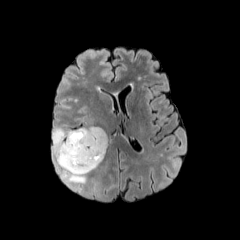
FLAIR MR image.
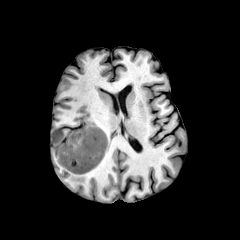
T1-weighted MR image.
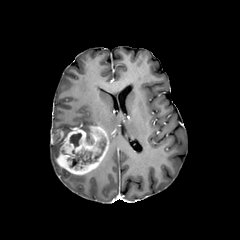
Post-contrast T1-weighted MR.
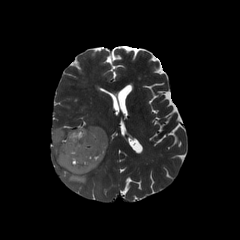
Same slice, T2-weighted magnetic resonance.
Image size 240x240 | Axial plane
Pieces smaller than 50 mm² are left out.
The 3 largest peritumoral edema regions are bounded by bbox=[52, 142, 58, 158]; bbox=[55, 161, 86, 183]; bbox=[52, 127, 71, 141]. The largest enhancing tumor region is located at bbox=[53, 125, 109, 174]. The 2 largest necrotic tumor core regions are located at bbox=[70, 133, 81, 147]; bbox=[68, 139, 106, 167].